Slice 84 of 155
FLAIR magnetic resonance.
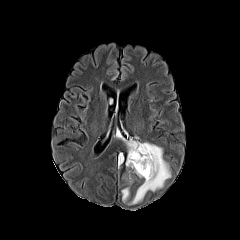
T1-weighted magnetic resonance.
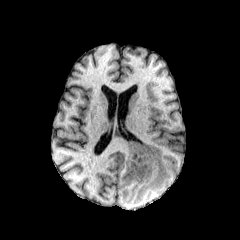
Post-contrast T1-weighted MRI.
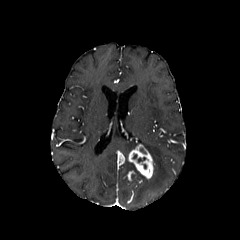
T2-weighted MR.
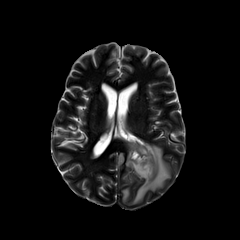
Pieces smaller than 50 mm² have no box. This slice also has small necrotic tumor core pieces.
enhancing_tumor:
  - [x1=128, y1=143, x2=154, y2=179]
  - [x1=118, y1=153, x2=124, y2=165]
peritumoral_edema:
  - [x1=131, y1=142, x2=170, y2=204]
  - [x1=122, y1=188, x2=129, y2=202]
  - [x1=119, y1=136, x2=138, y2=153]
  - [x1=126, y1=156, x2=144, y2=177]